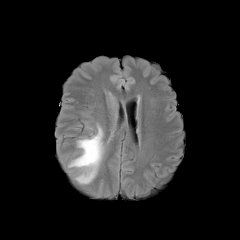
FLAIR magnetic resonance.
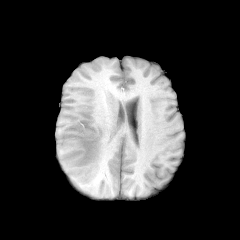
T1-weighted magnetic resonance of the same slice.
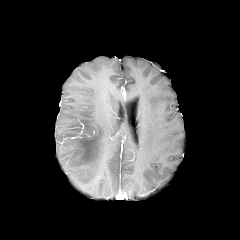
Post-contrast T1-weighted MR image of the same slice.
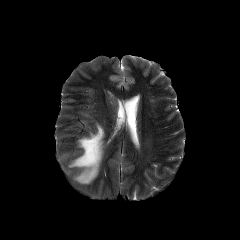
T2-weighted MR.
Head
• peritumoral edema: bbox=[68, 124, 103, 184]